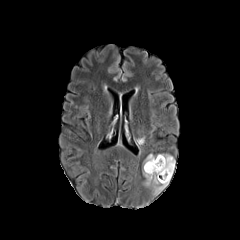
FLAIR MR.
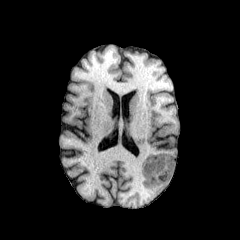
T1-weighted magnetic resonance.
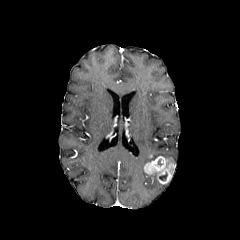
Same slice, post-contrast T1-weighted magnetic resonance.
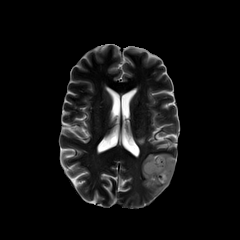
T2-weighted MRI.
Head
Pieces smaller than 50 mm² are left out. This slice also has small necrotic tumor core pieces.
enhancing tumor: <bbox>144, 156, 175, 184</bbox> | peritumoral edema: <bbox>136, 138, 144, 145</bbox>, <bbox>142, 153, 175, 195</bbox>